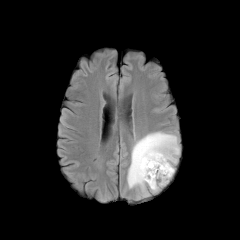
FLAIR MRI.
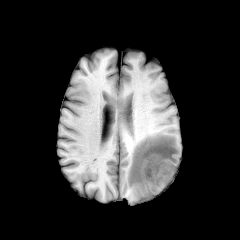
T1-weighted magnetic resonance of the same slice.
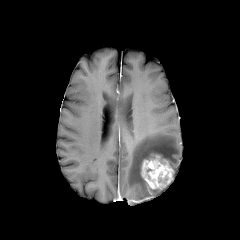
Post-contrast T1-weighted MR.
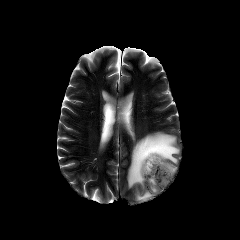
T2-weighted magnetic resonance.
Brain
enhancing tumor: bounding box 141:154:173:189
peritumoral edema: bounding box 127:131:179:200